FLAIR MR.
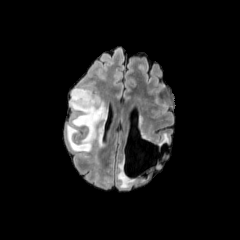
T1-weighted MR.
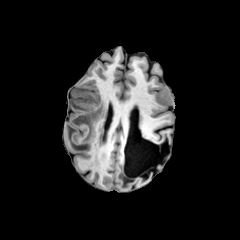
Post-contrast T1-weighted magnetic resonance.
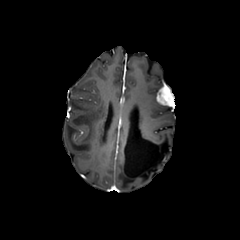
T2-weighted magnetic resonance.
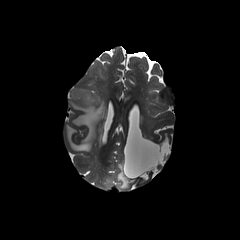
Brain. Axial slice. 240x240.
The peritumoral edema is located at 66, 88, 107, 151.